Slice 89 of 155. Image width 240 mm. Head.
FLAIR MR image.
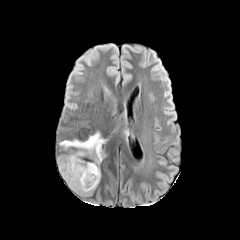
T1-weighted MR image.
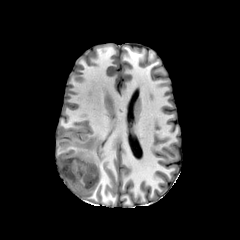
Post-contrast T1-weighted MRI.
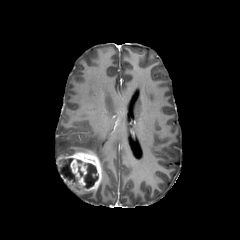
T2-weighted magnetic resonance.
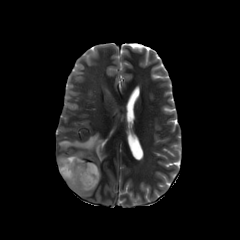
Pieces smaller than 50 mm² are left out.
The largest enhancing tumor region is at 57,150,101,193. The largest peritumoral edema region is at 59,132,106,163. The 2 largest necrotic tumor core regions are located at 59,158,77,184; 84,163,98,188.